Image width 240 mm, Axial plane
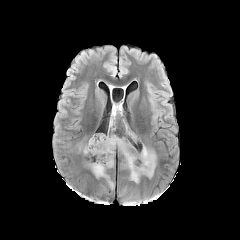
FLAIR MR image.
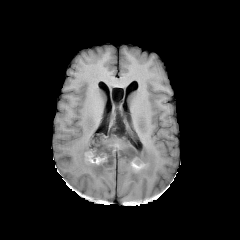
Same slice, T1-weighted MR.
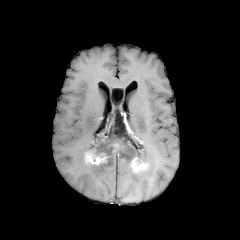
Same slice, post-contrast T1-weighted MR.
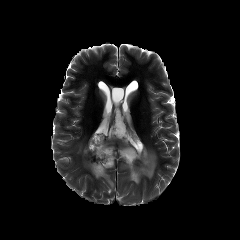
T2-weighted MR image.
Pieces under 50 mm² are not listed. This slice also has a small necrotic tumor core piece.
peritumoral edema: region(79, 133, 156, 188) | enhancing tumor: region(85, 150, 107, 165); region(131, 157, 148, 172)